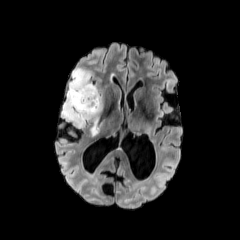
FLAIR MRI.
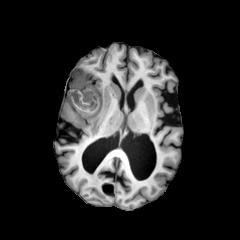
T1-weighted MR image.
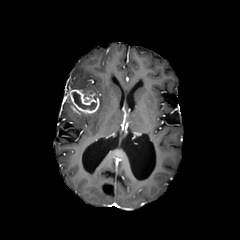
Post-contrast T1-weighted MR image of the same slice.
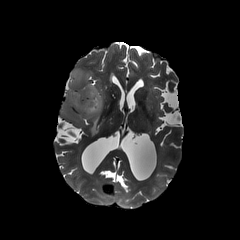
Same slice, T2-weighted MRI.
Brain
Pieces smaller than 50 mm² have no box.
Annotated regions:
- enhancing tumor: box(65, 86, 100, 114)
- necrotic tumor core: box(72, 92, 96, 109)
- peritumoral edema: box(91, 117, 98, 135); box(69, 68, 99, 93); box(61, 96, 101, 127)